FLAIR MRI.
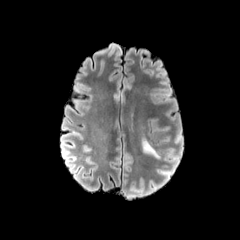
T1-weighted MR image.
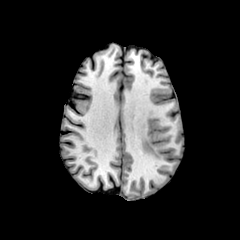
Post-contrast T1-weighted MRI.
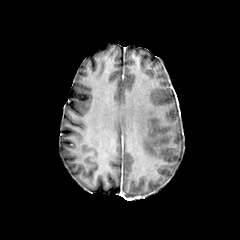
T2-weighted MR.
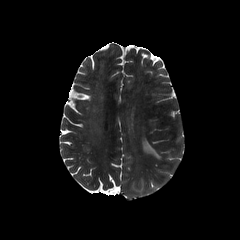
Head
Annotated regions:
- peritumoral edema: (x1=142, y1=137, x2=160, y2=158)